FLAIR MR.
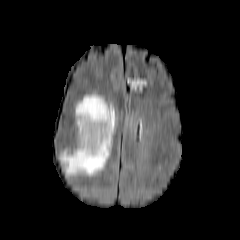
T1-weighted MRI.
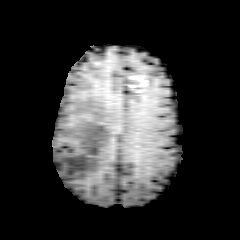
Post-contrast T1-weighted magnetic resonance.
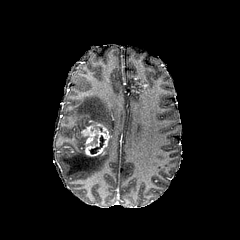
T2-weighted MR image.
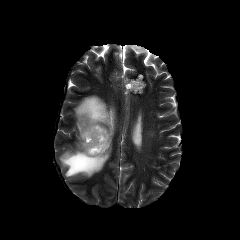
Brain, 240x240, Axial plane
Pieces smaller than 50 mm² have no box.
The largest necrotic tumor core region is located at region(90, 135, 104, 153). The peritumoral edema appears at region(60, 94, 115, 176). The enhancing tumor is at region(81, 120, 111, 156).